Image width 240 mm, 1.00 mm slice spacing.
FLAIR MRI.
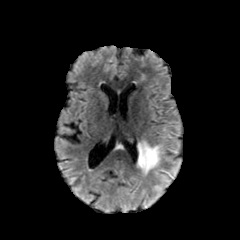
T1-weighted MRI.
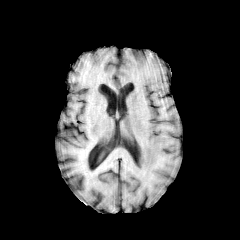
Post-contrast T1-weighted MRI.
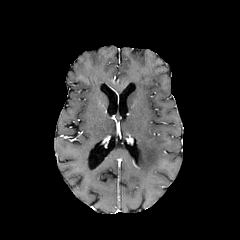
T2-weighted magnetic resonance.
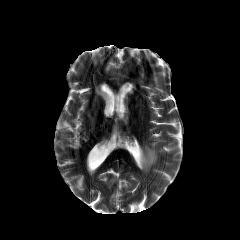
peritumoral_edema:
  - box(138, 141, 161, 174)